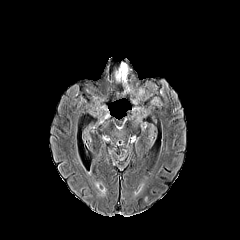
FLAIR MR.
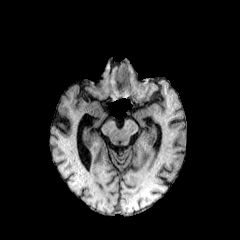
T1-weighted magnetic resonance of the same slice.
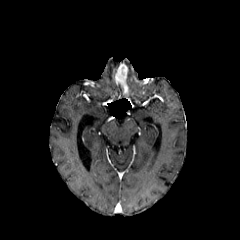
Same slice, post-contrast T1-weighted magnetic resonance.
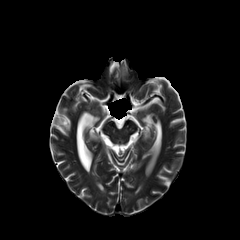
T2-weighted MR.
Head
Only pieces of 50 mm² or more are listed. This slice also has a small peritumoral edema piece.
enhancing tumor: bounding box {"x1": 115, "y1": 63, "x2": 129, "y2": 93}